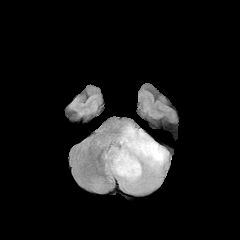
FLAIR MR image.
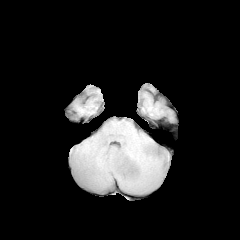
T1-weighted magnetic resonance.
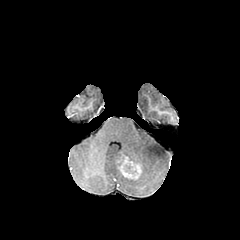
Same slice, post-contrast T1-weighted MRI.
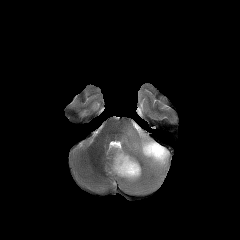
T2-weighted MR image of the same slice.
240x240 px.
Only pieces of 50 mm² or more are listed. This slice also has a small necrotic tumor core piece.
The enhancing tumor lies within 117, 156, 141, 179. The peritumoral edema is bounded by 104, 124, 168, 194.